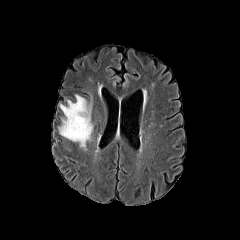
FLAIR MR.
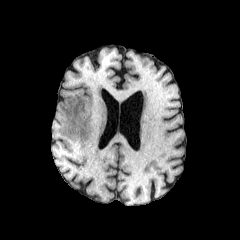
Same slice, T1-weighted MRI.
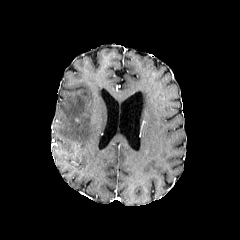
Post-contrast T1-weighted MR.
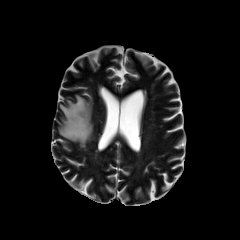
T2-weighted MRI of the same slice.
240x240 px
peritumoral_edema:
  - (58,95,93,148)